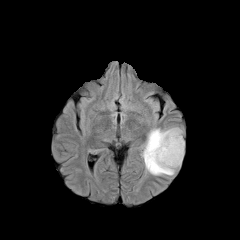
FLAIR MR image.
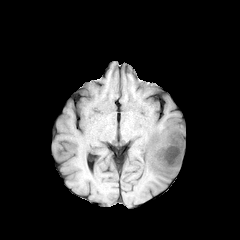
T1-weighted magnetic resonance.
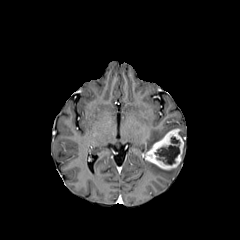
Post-contrast T1-weighted MR.
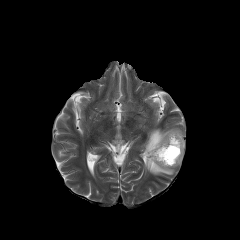
T2-weighted magnetic resonance of the same slice.
Head
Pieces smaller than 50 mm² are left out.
necrotic tumor core at {"x1": 155, "y1": 137, "x2": 179, "y2": 164}
peritumoral edema at {"x1": 142, "y1": 127, "x2": 177, "y2": 155}, {"x1": 143, "y1": 157, "x2": 176, "y2": 175}
enhancing tumor at {"x1": 143, "y1": 128, "x2": 184, "y2": 169}